FLAIR MRI.
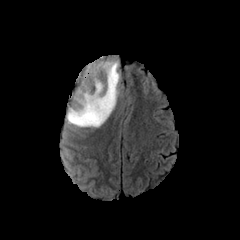
T1-weighted magnetic resonance.
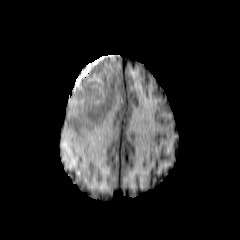
Post-contrast T1-weighted MR image.
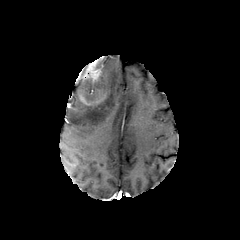
T2-weighted magnetic resonance.
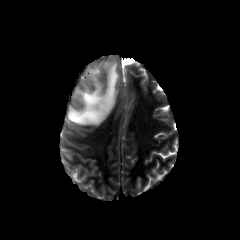
Axial view | Head | Image size 240x240
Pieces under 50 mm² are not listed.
peritumoral edema at rect(67, 57, 120, 126)
enhancing tumor at rect(78, 62, 107, 105)